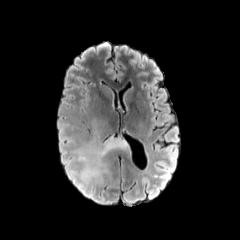
FLAIR MRI.
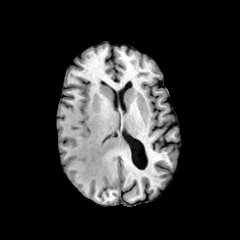
T1-weighted MR.
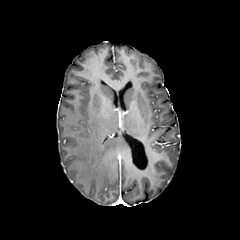
Post-contrast T1-weighted MR image.
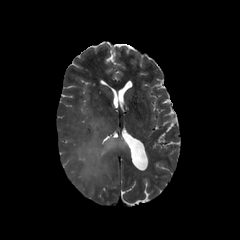
T2-weighted MRI of the same slice.
240x240 px | Brain
{"peritumoral_edema": ["[75, 131, 127, 183]"]}